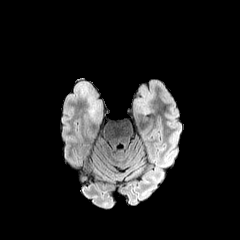
FLAIR MRI.
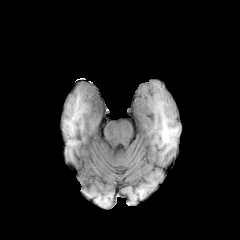
T1-weighted MRI.
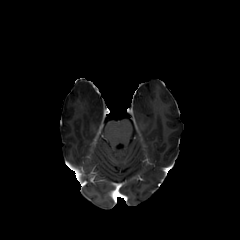
Post-contrast T1-weighted MR image of the same slice.
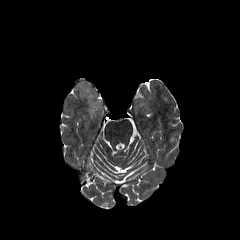
T2-weighted magnetic resonance of the same slice.
Axial plane, 240x240 px
2 peritumoral edema regions appear at (left=133, top=87, right=153, bottom=112), (left=76, top=82, right=101, bottom=120).